FLAIR MRI.
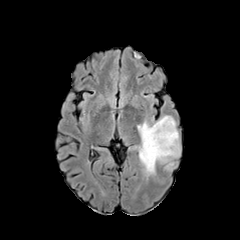
T1-weighted MRI.
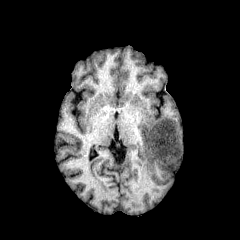
Post-contrast T1-weighted MR image.
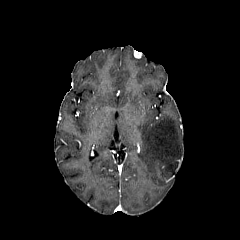
T2-weighted magnetic resonance.
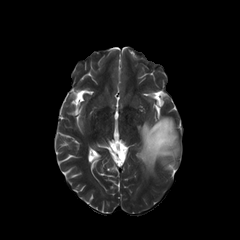
Axial slice. 240x240.
peritumoral edema: [x1=138, y1=116, x2=180, y2=176], [x1=166, y1=162, x2=173, y2=169]